FLAIR MRI.
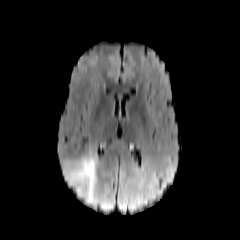
T1-weighted MRI.
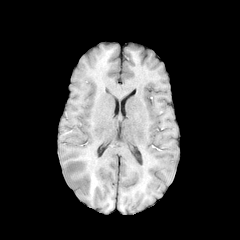
Post-contrast T1-weighted MR.
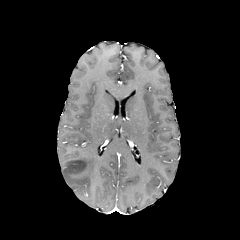
T2-weighted MRI.
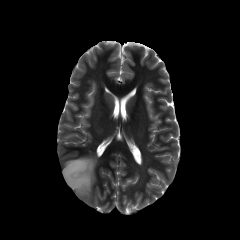
peritumoral_edema:
  - 63:154:97:202